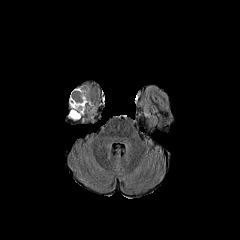
FLAIR MRI.
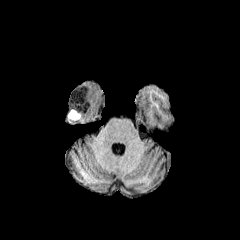
T1-weighted MR.
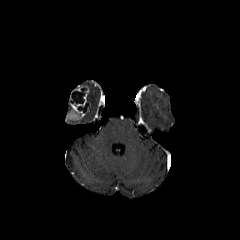
Post-contrast T1-weighted MR of the same slice.
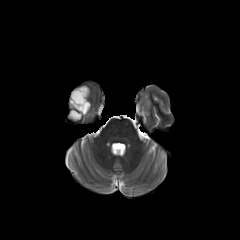
Same slice, T2-weighted MR.
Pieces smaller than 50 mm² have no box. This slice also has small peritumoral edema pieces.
Annotated regions:
* necrotic tumor core: <bbox>77, 103, 88, 112</bbox>, <bbox>70, 87, 86, 104</bbox>
* enhancing tumor: <bbox>69, 86, 89, 118</bbox>